Axial view, Slice 65 of 155, 240x240, Head
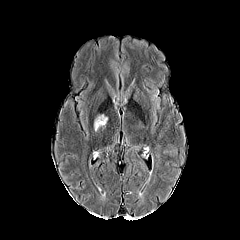
FLAIR MRI.
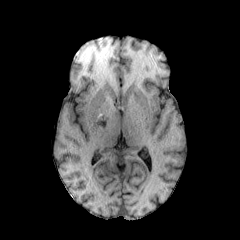
Same slice, T1-weighted MRI.
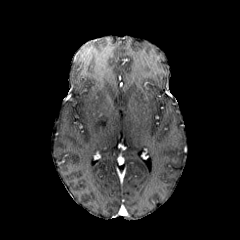
Post-contrast T1-weighted MRI of the same slice.
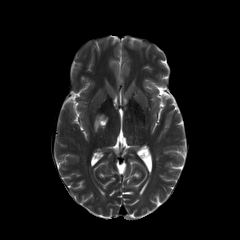
Same slice, T2-weighted magnetic resonance.
peritumoral edema: (94,115,107,131)